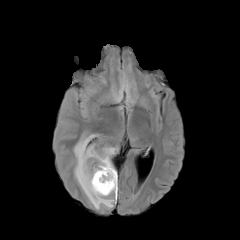
FLAIR magnetic resonance.
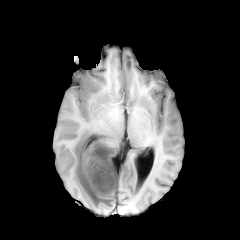
T1-weighted magnetic resonance.
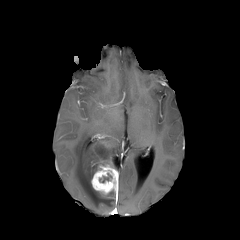
Post-contrast T1-weighted magnetic resonance.
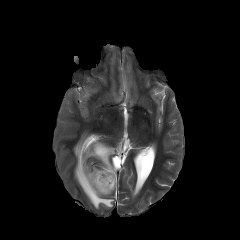
Same slice, T2-weighted magnetic resonance.
240x240. Axial slice.
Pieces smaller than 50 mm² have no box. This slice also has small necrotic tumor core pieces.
enhancing tumor: <box>91,142,118,194</box> | peritumoral edema: <box>73,134,116,209</box>, <box>104,145,117,159</box>